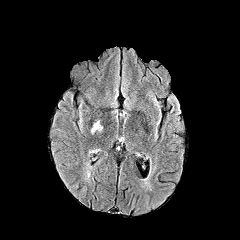
FLAIR MRI.
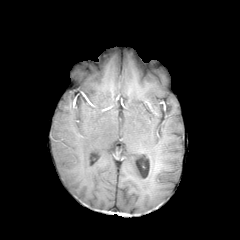
Same slice, T1-weighted MR.
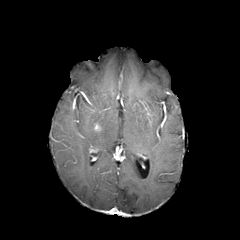
Post-contrast T1-weighted MR.
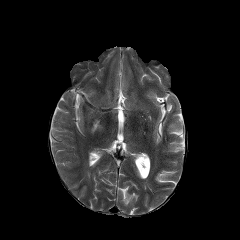
T2-weighted MR image.
Brain. Image size 240x240.
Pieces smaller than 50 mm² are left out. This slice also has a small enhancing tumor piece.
<segmentation>
  <peritumoral_edema>91:120:102:133</peritumoral_edema>
</segmentation>